Brain | Slice 57/155 | Axial plane
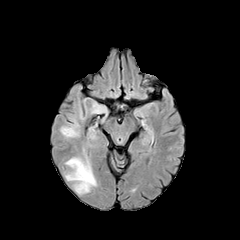
FLAIR MR.
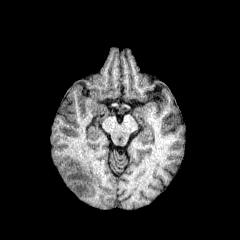
T1-weighted magnetic resonance.
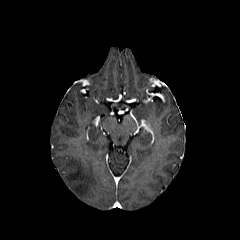
Post-contrast T1-weighted MRI.
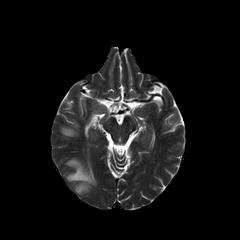
T2-weighted MRI.
peritumoral edema at (60,120,79,139), (65,156,96,193)